240x240 px. Brain. Slice 102 of 155.
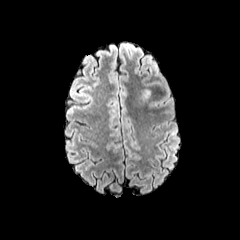
FLAIR MR image.
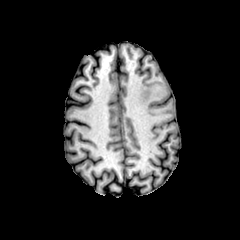
Same slice, T1-weighted MRI.
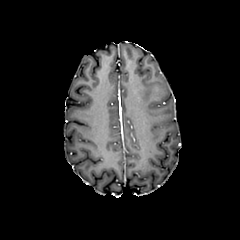
Post-contrast T1-weighted MR image.
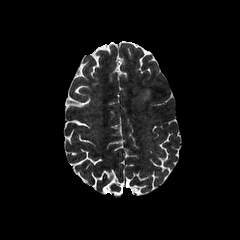
Same slice, T2-weighted MR.
Segmented structures:
• peritumoral edema: [142, 89, 149, 99]